FLAIR MR.
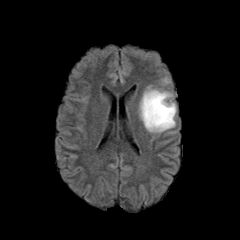
T1-weighted MR.
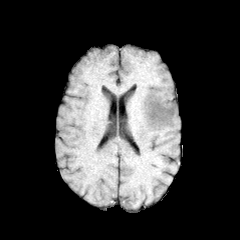
Post-contrast T1-weighted MR.
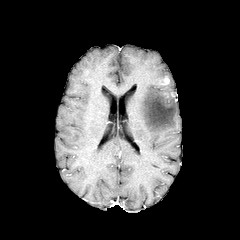
T2-weighted MR.
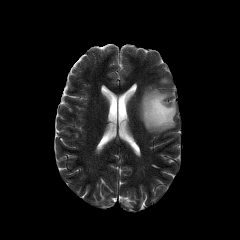
240x240, Axial plane, Brain
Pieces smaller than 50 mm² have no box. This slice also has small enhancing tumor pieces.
The largest peritumoral edema region is bounded by region(139, 87, 176, 132).